FLAIR MR.
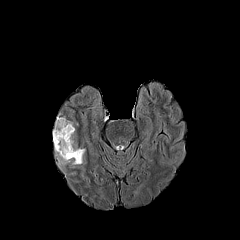
T1-weighted MR image.
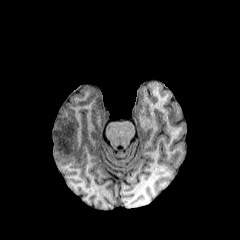
Post-contrast T1-weighted magnetic resonance.
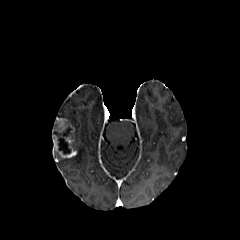
T2-weighted MRI.
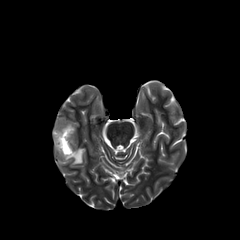
Head
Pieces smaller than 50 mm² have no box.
enhancing tumor: box=[52, 117, 76, 158] | necrotic tumor core: box=[54, 126, 73, 154] | peritumoral edema: box=[55, 141, 85, 168]